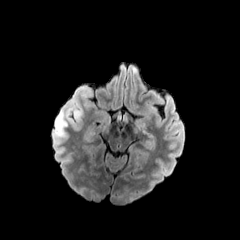
FLAIR magnetic resonance.
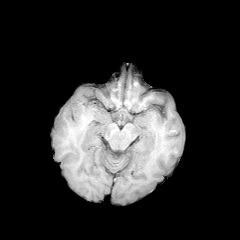
Same slice, T1-weighted MRI.
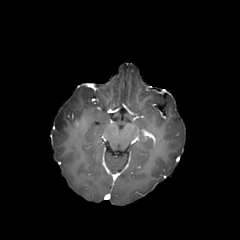
Post-contrast T1-weighted magnetic resonance.
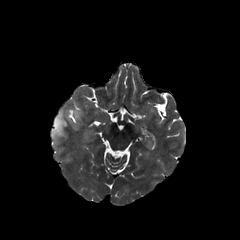
T2-weighted magnetic resonance of the same slice.
Head | 240x240 px
• peritumoral edema: rect(73, 109, 82, 119); rect(55, 110, 74, 135)
• enhancing tumor: rect(73, 118, 83, 130)